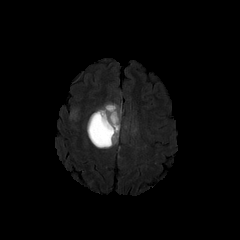
FLAIR magnetic resonance.
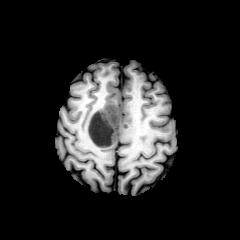
T1-weighted magnetic resonance.
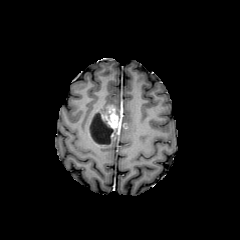
Post-contrast T1-weighted MRI.
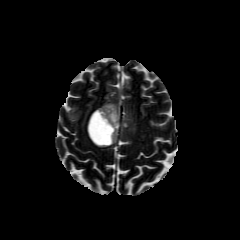
T2-weighted magnetic resonance.
Head. Axial slice.
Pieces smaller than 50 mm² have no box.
{
  "enhancing_tumor": [
    "88, 125, 110, 147",
    "99, 105, 121, 141"
  ],
  "peritumoral_edema": [
    "96, 102, 121, 117",
    "70, 108, 79, 118",
    "97, 133, 118, 148"
  ],
  "necrotic_tumor_core": [
    "89, 112, 113, 144"
  ]
}